FLAIR magnetic resonance.
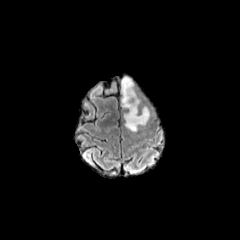
T1-weighted MRI.
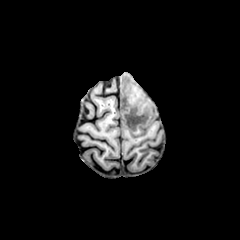
Post-contrast T1-weighted MR image.
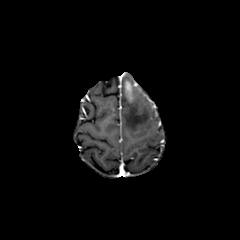
T2-weighted MR.
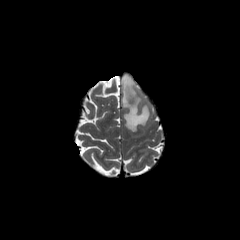
240x240 px.
{"peritumoral_edema": ["box=[121, 76, 150, 131]"], "enhancing_tumor": ["box=[124, 79, 134, 102]"]}